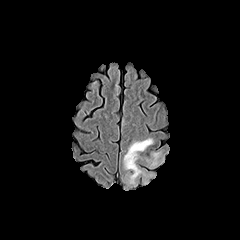
FLAIR MR image.
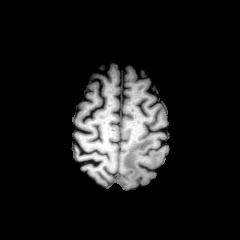
T1-weighted MR of the same slice.
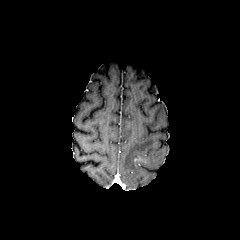
Post-contrast T1-weighted MR image of the same slice.
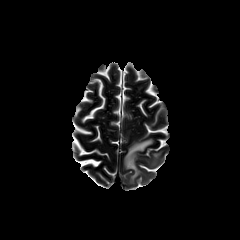
T2-weighted magnetic resonance.
Head; Image size 240x240; Axial slice
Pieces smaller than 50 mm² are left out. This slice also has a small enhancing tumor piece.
peritumoral edema — region(123, 137, 154, 184); region(146, 151, 162, 166)